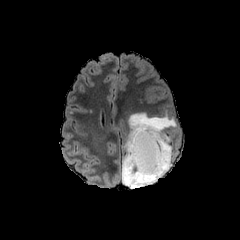
FLAIR MR.
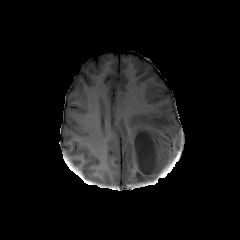
T1-weighted MR.
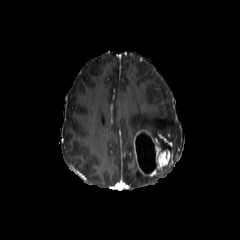
Same slice, post-contrast T1-weighted MRI.
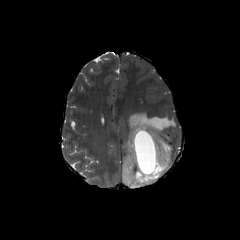
T2-weighted MR image.
Brain, 240x240 px
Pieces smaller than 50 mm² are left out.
Segmented structures:
* necrotic tumor core: x1=135, y1=132, x2=156, y2=174
* peritumoral edema: x1=122, y1=110, x2=176, y2=188
* enhancing tumor: x1=133, y1=129, x2=172, y2=177